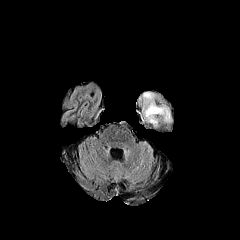
FLAIR magnetic resonance.
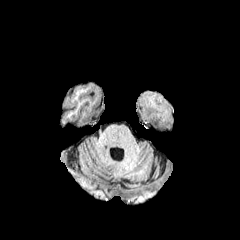
T1-weighted MR.
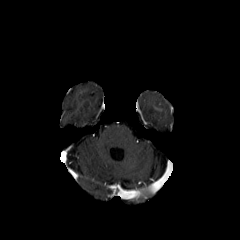
Post-contrast T1-weighted MRI.
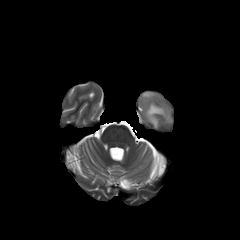
Same slice, T2-weighted MR image.
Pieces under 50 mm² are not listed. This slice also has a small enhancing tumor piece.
peritumoral_edema:
  - {"x1": 142, "y1": 92, "x2": 171, "y2": 125}